FLAIR magnetic resonance.
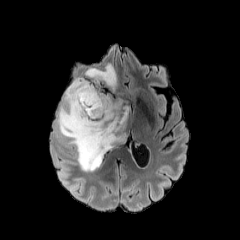
T1-weighted MRI.
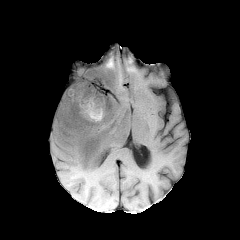
Post-contrast T1-weighted MRI.
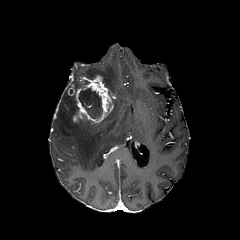
T2-weighted MR image.
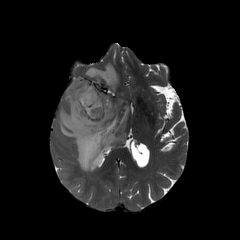
Head
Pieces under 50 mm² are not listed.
enhancing tumor — (67,75,113,124)
necrotic tumor core — (74,82,82,94), (78,88,102,118)
peritumoral edema — (56,86,129,171), (72,63,118,91)